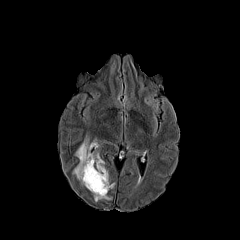
FLAIR MR.
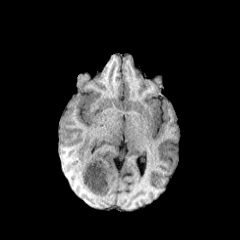
Same slice, T1-weighted MR image.
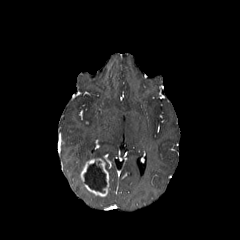
Post-contrast T1-weighted MR image.
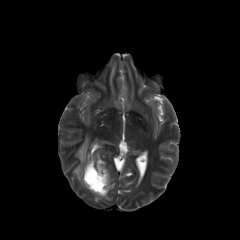
T2-weighted MR image.
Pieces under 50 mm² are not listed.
Findings:
• enhancing tumor: [x1=80, y1=158, x2=110, y2=196]
• necrotic tumor core: [x1=84, y1=163, x2=106, y2=192]
• peritumoral edema: [x1=73, y1=136, x2=99, y2=184], [x1=94, y1=195, x2=110, y2=201]